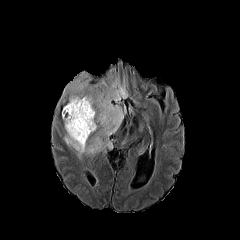
FLAIR MR.
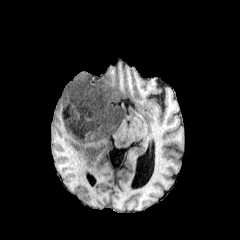
T1-weighted magnetic resonance of the same slice.
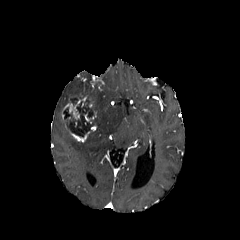
Post-contrast T1-weighted magnetic resonance.
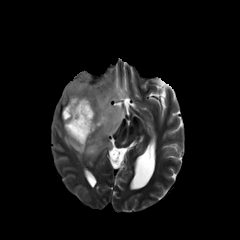
T2-weighted MR image of the same slice.
Axial view. Image size 240x240.
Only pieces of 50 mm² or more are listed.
{"necrotic_tumor_core": ["(63, 99, 93, 136)"], "peritumoral_edema": ["(63, 76, 128, 158)", "(62, 72, 92, 97)"], "enhancing_tumor": ["(62, 90, 96, 142)", "(92, 79, 104, 89)"]}